FLAIR magnetic resonance.
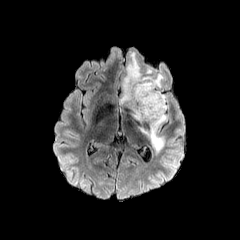
T1-weighted MR.
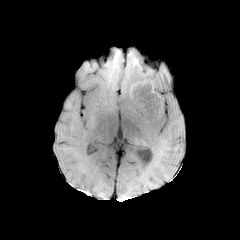
Post-contrast T1-weighted MRI.
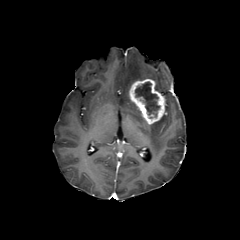
T2-weighted MRI.
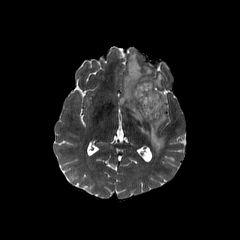
Axial slice, Head
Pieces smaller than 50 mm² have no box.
The enhancing tumor appears at {"x1": 128, "y1": 79, "x2": 166, "y2": 124}. The 2 largest peritumoral edema regions are located at {"x1": 119, "y1": 52, "x2": 166, "y2": 122}, {"x1": 139, "y1": 115, "x2": 166, "y2": 155}. The necrotic tumor core is bounded by {"x1": 135, "y1": 81, "x2": 159, "y2": 116}.